Slice 130/155 | Brain | Image size 240x240
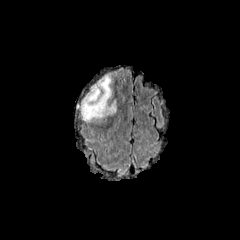
FLAIR MR.
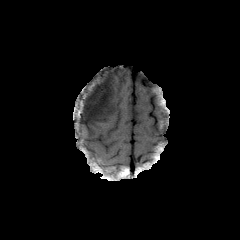
T1-weighted MR of the same slice.
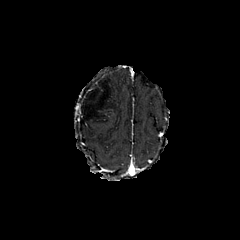
Post-contrast T1-weighted MR image.
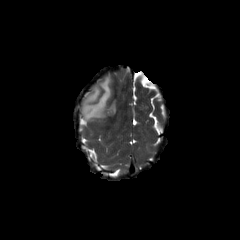
T2-weighted MRI.
• peritumoral edema: <box>80,74,116,122</box>
• enhancing tumor: <box>98,109,113,115</box>